FLAIR MRI.
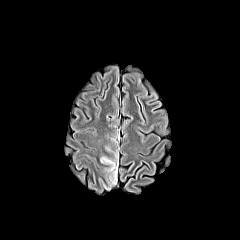
T1-weighted MR image.
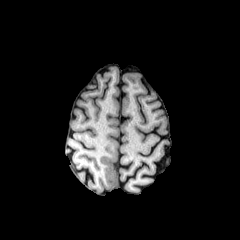
Post-contrast T1-weighted MRI.
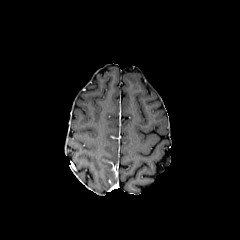
T2-weighted MRI.
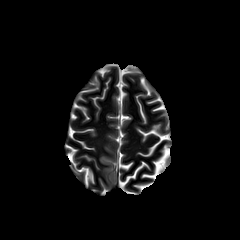
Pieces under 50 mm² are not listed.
<segmentation>
  <peritumoral_edema>box(100, 156, 116, 183)</peritumoral_edema>
</segmentation>